Slice 80 of 155, Image width 240 mm, 1.00 mm slice spacing, 240x240 px, Axial plane
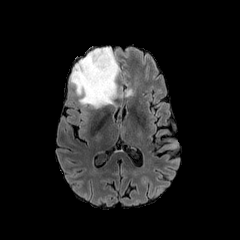
FLAIR MRI.
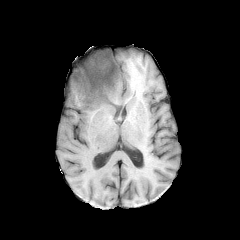
Same slice, T1-weighted MR image.
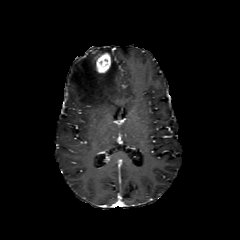
Same slice, post-contrast T1-weighted MRI.
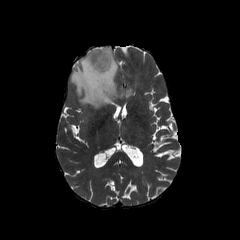
T2-weighted MRI.
The enhancing tumor is bounded by region(95, 53, 111, 73). The peritumoral edema lies within region(69, 47, 132, 108).